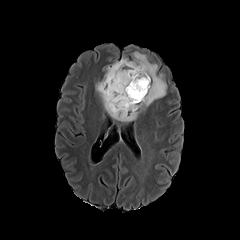
FLAIR magnetic resonance.
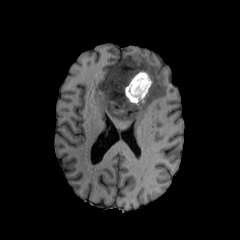
T1-weighted MRI.
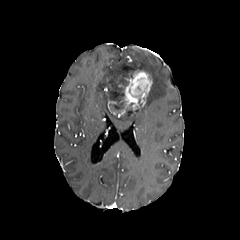
Post-contrast T1-weighted MR image.
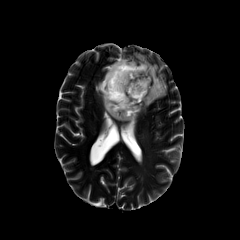
T2-weighted MR.
Image size 240x240
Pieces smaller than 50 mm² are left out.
The 2 largest enhancing tumor regions are bounded by [119, 70, 152, 115], [108, 99, 118, 115]. The largest peritumoral edema region is bounded by [95, 51, 167, 121]. The largest necrotic tumor core region is located at [105, 62, 133, 115].